Slice 132 of 155 | 240x240 | Image width 240 mm
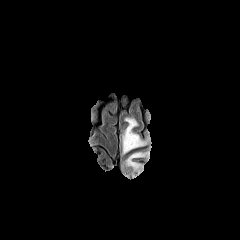
FLAIR MR image.
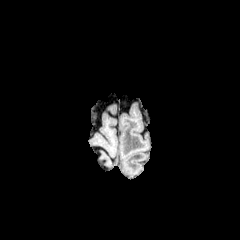
T1-weighted MR.
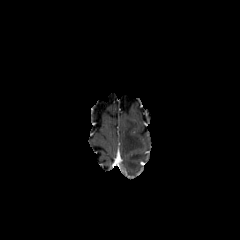
Post-contrast T1-weighted MR image of the same slice.
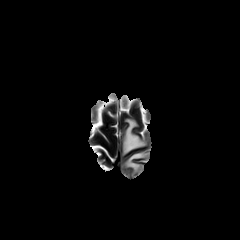
T2-weighted magnetic resonance.
peritumoral edema: bounding box left=122, top=118, right=147, bottom=154; left=124, top=152, right=147, bottom=174